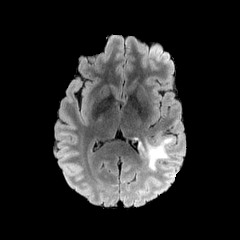
FLAIR MR image.
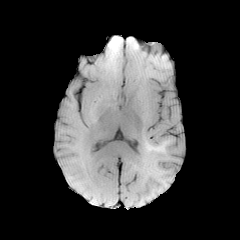
Same slice, T1-weighted MRI.
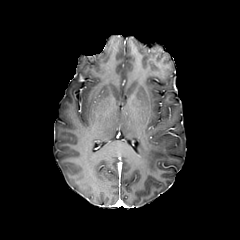
Post-contrast T1-weighted magnetic resonance of the same slice.
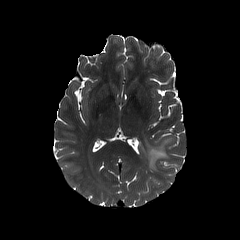
T2-weighted magnetic resonance of the same slice.
240x240 px. Brain.
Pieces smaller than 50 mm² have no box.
Segmented structures:
- peritumoral edema: left=138, top=136, right=174, bottom=170